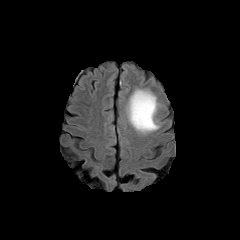
FLAIR MR image.
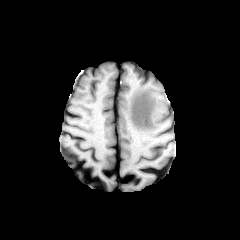
T1-weighted MR.
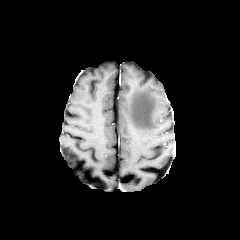
Same slice, post-contrast T1-weighted MR.
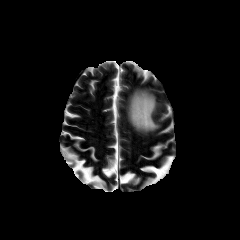
Same slice, T2-weighted MR image.
240x240; Axial slice; Brain
peritumoral edema = (126, 89, 159, 133)